FLAIR magnetic resonance.
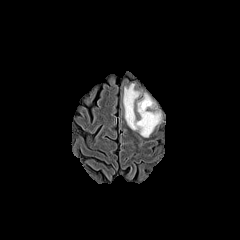
T1-weighted MR.
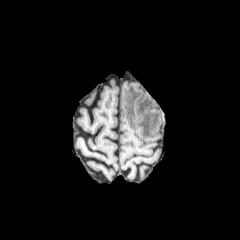
Post-contrast T1-weighted magnetic resonance.
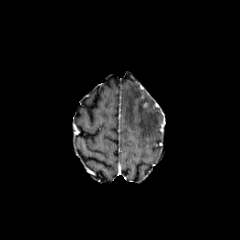
T2-weighted magnetic resonance.
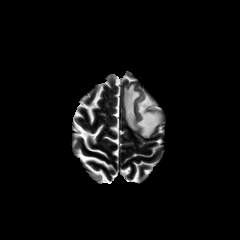
Brain.
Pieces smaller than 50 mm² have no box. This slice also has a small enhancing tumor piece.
Findings:
- peritumoral edema: [123,83,161,137]